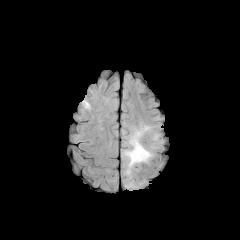
FLAIR MR.
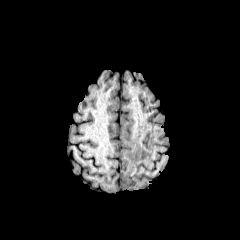
T1-weighted magnetic resonance of the same slice.
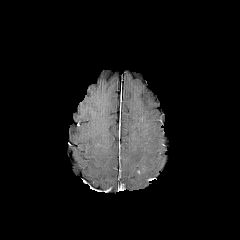
Post-contrast T1-weighted MRI.
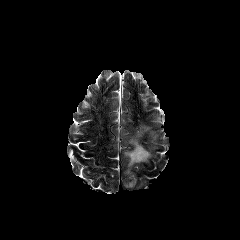
T2-weighted MR image.
Head
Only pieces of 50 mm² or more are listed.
peritumoral edema at [x1=123, y1=125, x2=152, y2=174]